Brain.
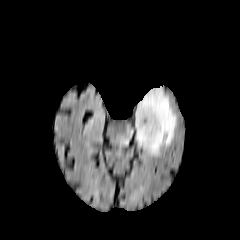
FLAIR magnetic resonance.
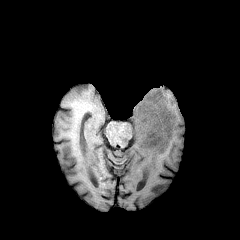
Same slice, T1-weighted MR image.
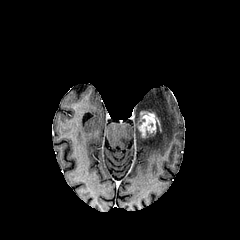
Post-contrast T1-weighted magnetic resonance of the same slice.
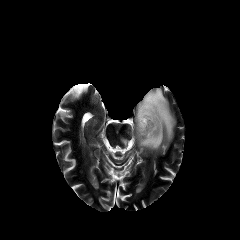
T2-weighted magnetic resonance.
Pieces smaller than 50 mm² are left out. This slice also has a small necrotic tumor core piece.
The largest peritumoral edema region lies within 134, 88, 176, 155. The enhancing tumor appears at 137, 111, 161, 137.